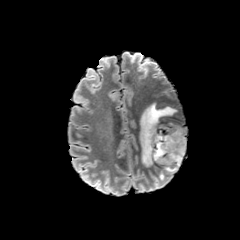
FLAIR MR image.
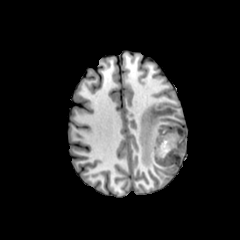
T1-weighted MR.
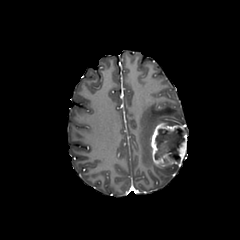
Same slice, post-contrast T1-weighted magnetic resonance.
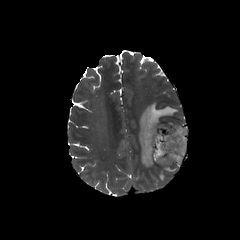
T2-weighted magnetic resonance of the same slice.
Axial slice.
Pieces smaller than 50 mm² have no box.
enhancing_tumor:
  - [150,123,187,166]
peritumoral_edema:
  - [139,103,177,167]
  - [159,165,178,179]
necrotic_tumor_core:
  - [155,127,184,162]